Head | 240x240 px
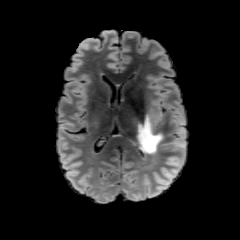
FLAIR MR image.
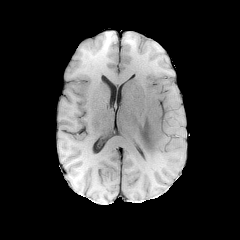
Same slice, T1-weighted MRI.
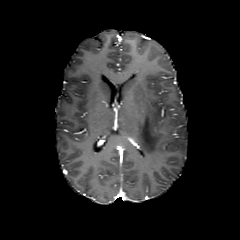
Post-contrast T1-weighted magnetic resonance of the same slice.
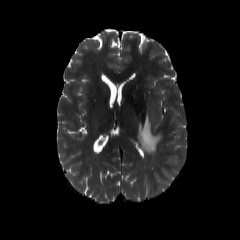
T2-weighted MRI of the same slice.
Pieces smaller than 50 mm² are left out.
peritumoral edema = <box>138,116,163,153</box>